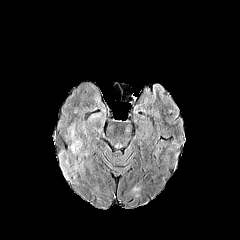
FLAIR MRI.
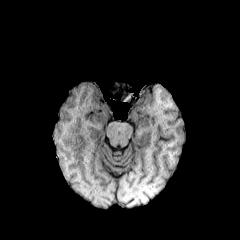
T1-weighted MR.
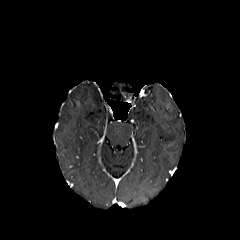
Post-contrast T1-weighted MRI of the same slice.
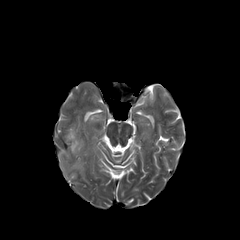
T2-weighted MRI of the same slice.
Head
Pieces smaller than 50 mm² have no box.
peritumoral edema: bounding box <bbox>61, 152, 86, 178</bbox>, <bbox>71, 141, 78, 152</bbox>